Image width 240 mm, 1.00 mm slice spacing; Slice index 57
FLAIR MR image.
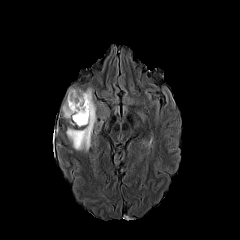
T1-weighted magnetic resonance.
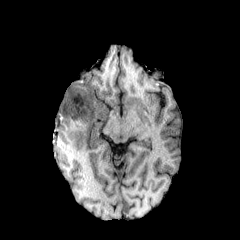
Post-contrast T1-weighted magnetic resonance.
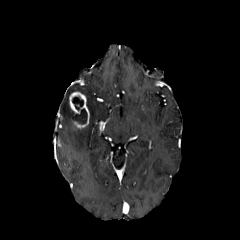
T2-weighted MR.
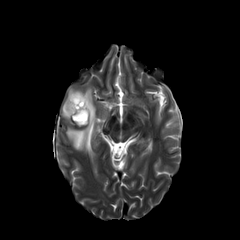
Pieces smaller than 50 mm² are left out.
{
  "necrotic_tumor_core": [
    "73,108,87,124",
    "72,97,83,110"
  ],
  "peritumoral_edema": [
    "61,87,96,151"
  ],
  "enhancing_tumor": [
    "69,91,89,128"
  ]
}